FLAIR MR image.
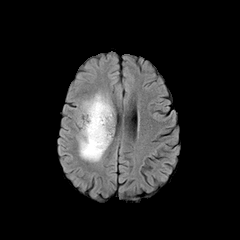
T1-weighted magnetic resonance.
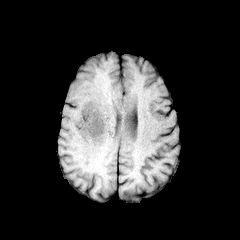
Post-contrast T1-weighted magnetic resonance.
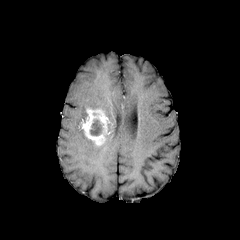
T2-weighted MR.
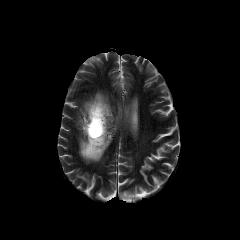
240x240
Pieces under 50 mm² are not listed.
The largest peritumoral edema region appears at <bbox>78, 92, 113, 161</bbox>. The enhancing tumor appears at <bbox>81, 107, 109, 146</bbox>. The necrotic tumor core is bounded by <bbox>90, 119, 102, 135</bbox>.